FLAIR magnetic resonance.
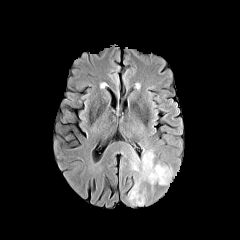
T1-weighted magnetic resonance.
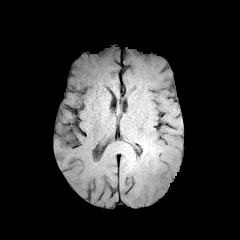
Post-contrast T1-weighted MR.
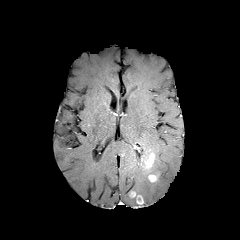
T2-weighted MR image.
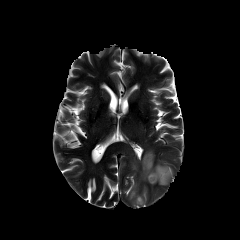
Axial slice. Head.
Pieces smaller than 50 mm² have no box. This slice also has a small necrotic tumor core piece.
Findings:
* enhancing tumor: (x1=148, y1=175, x2=157, y2=181), (x1=145, y1=154, x2=153, y2=169)
* peritumoral edema: (x1=141, y1=151, x2=172, y2=184), (x1=128, y1=183, x2=144, y2=205)